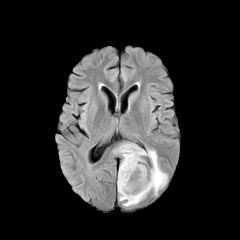
FLAIR MR image.
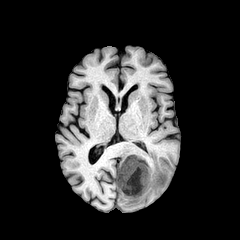
T1-weighted MRI.
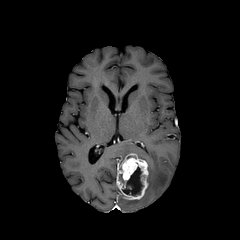
Post-contrast T1-weighted MR.
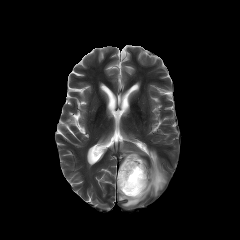
Same slice, T2-weighted MRI.
Head
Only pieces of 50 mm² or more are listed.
The largest enhancing tumor region is at left=117, top=153, right=148, bottom=199. The largest necrotic tumor core region appears at left=122, top=167, right=142, bottom=195. The largest peritumoral edema region lies within left=118, top=144, right=167, bottom=206.